Brain
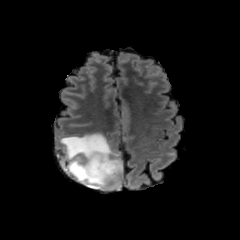
FLAIR MR.
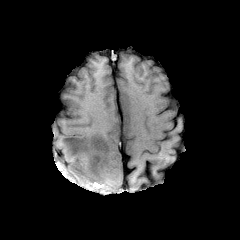
T1-weighted MR image of the same slice.
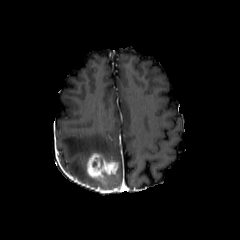
Post-contrast T1-weighted MR.
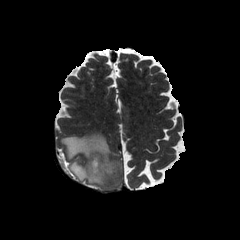
T2-weighted MR image.
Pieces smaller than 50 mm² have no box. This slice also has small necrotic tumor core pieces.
The peritumoral edema is bounded by left=60, top=133, right=123, bottom=189. The enhancing tumor appears at left=86, top=153, right=118, bottom=181.